Slice 85/155; Image size 240x240
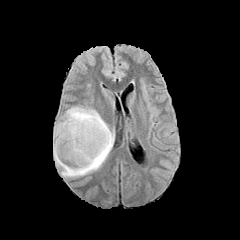
FLAIR MRI.
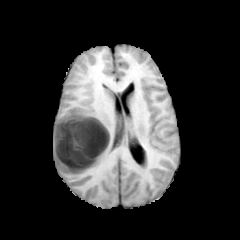
T1-weighted MRI.
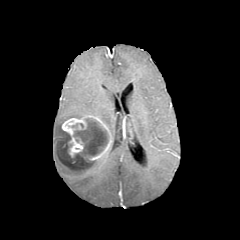
Same slice, post-contrast T1-weighted MR image.
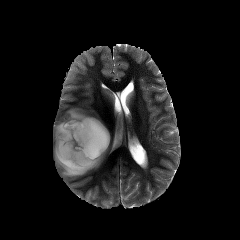
T2-weighted magnetic resonance of the same slice.
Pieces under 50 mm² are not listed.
peritumoral edema — 53:106:114:178
enhancing tumor — 62:116:110:160
necrotic tumor core — 72:118:109:157